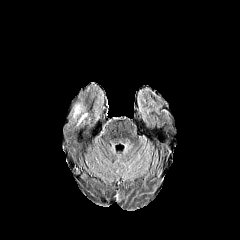
FLAIR MR image.
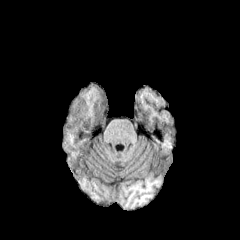
Same slice, T1-weighted MR image.
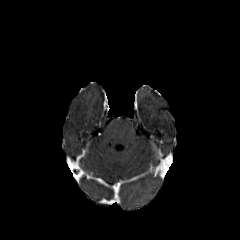
Post-contrast T1-weighted MR.
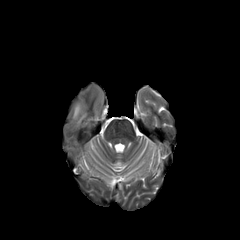
T2-weighted magnetic resonance of the same slice.
240x240.
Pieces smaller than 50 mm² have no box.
peritumoral edema = (x1=73, y1=103, x2=81, y2=118)